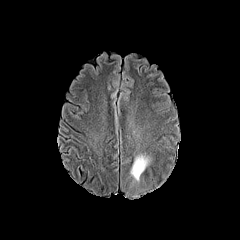
FLAIR MR image.
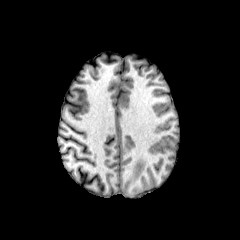
T1-weighted MR image.
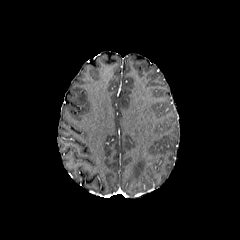
Same slice, post-contrast T1-weighted magnetic resonance.
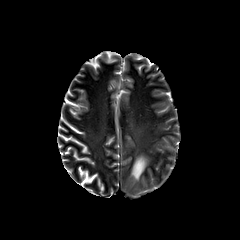
T2-weighted MR of the same slice.
240x240 | Brain
Findings:
• peritumoral edema: box(131, 155, 151, 180)